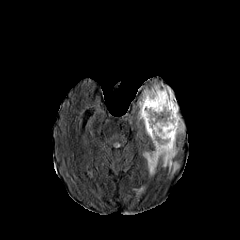
FLAIR MR image.
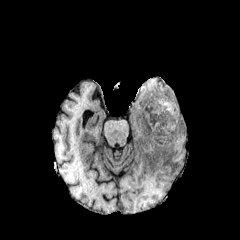
Same slice, T1-weighted MR image.
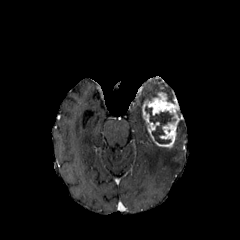
Post-contrast T1-weighted MR of the same slice.
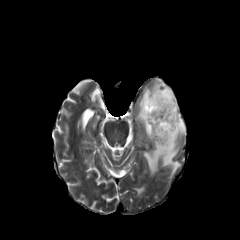
T2-weighted MR.
Brain
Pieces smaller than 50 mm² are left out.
Segmented structures:
- peritumoral edema: <box>133,185,145,197</box>, <box>176,120,184,135</box>, <box>142,140,179,178</box>, <box>138,84,173,135</box>
- necrotic tumor core: <box>145,106,176,143</box>
- enhancing tumor: <box>142,92,180,148</box>